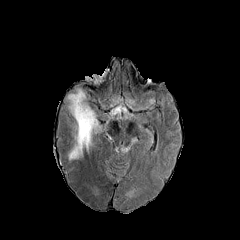
FLAIR MR image.
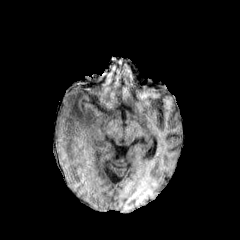
T1-weighted MR image.
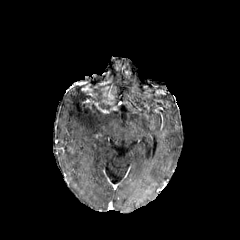
Same slice, post-contrast T1-weighted MR image.
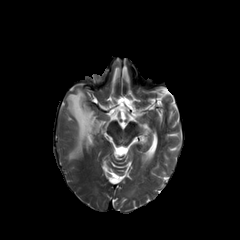
T2-weighted MR image.
Segmented structures:
- peritumoral edema: <box>68,89,100,159</box>